FLAIR MR.
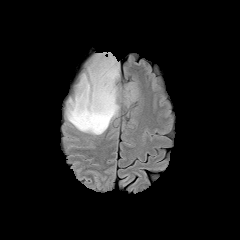
T1-weighted MR.
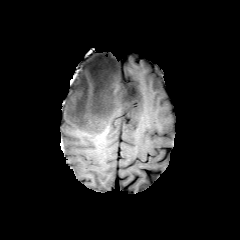
Post-contrast T1-weighted MR.
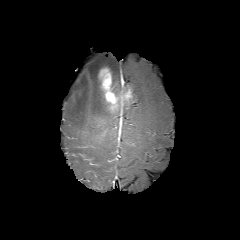
T2-weighted MRI.
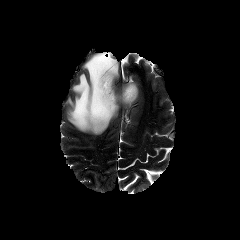
Axial view | 240x240 px | Head
peritumoral edema — (121,84,137,104), (66,54,120,134)
enhancing tumor — (98,68,133,110)